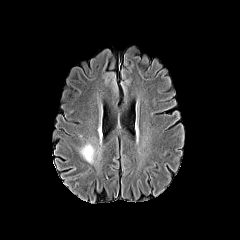
FLAIR MR image.
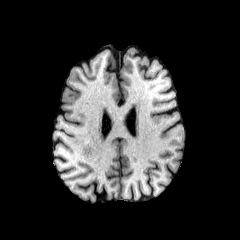
T1-weighted MR image of the same slice.
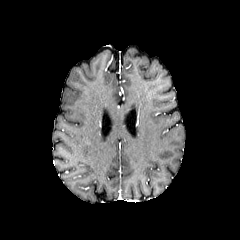
Post-contrast T1-weighted MRI.
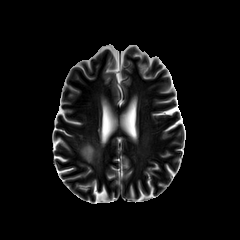
T2-weighted MRI of the same slice.
Axial view; 240x240 px
The peritumoral edema is at (80, 143, 99, 162).